Head; Axial slice
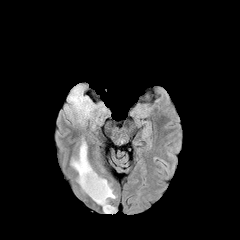
FLAIR MR image.
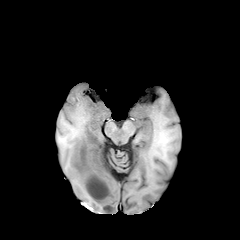
T1-weighted MR.
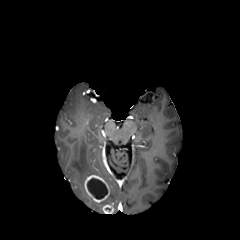
Post-contrast T1-weighted MR.
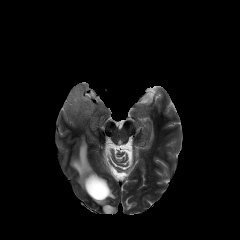
T2-weighted MR image.
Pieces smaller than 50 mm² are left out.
enhancing tumor = x1=102 y1=204 x2=114 y2=213, x1=84 y1=174 x2=109 y2=202
peritumoral edema = x1=65 y1=86 x2=95 y2=123, x1=70 y1=137 x2=97 y2=192, x1=97 y1=183 x2=116 y2=207
necrotic tumor core = x1=87 y1=178 x2=107 y2=199